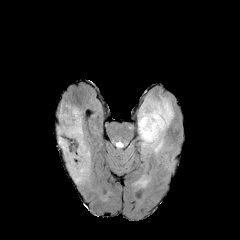
FLAIR MR.
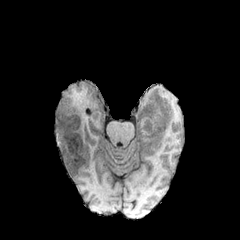
T1-weighted MR.
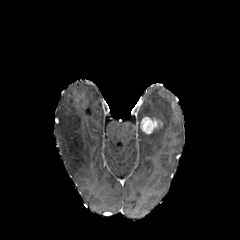
Same slice, post-contrast T1-weighted MRI.
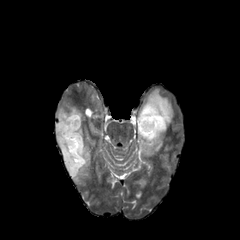
T2-weighted magnetic resonance.
Head. 240x240.
<segmentation>
  <enhancing_tumor>region(140, 116, 162, 134)</enhancing_tumor>
  <peritumoral_edema>region(138, 92, 173, 155); region(133, 175, 148, 188); region(56, 101, 92, 186)</peritumoral_edema>
</segmentation>